FLAIR MRI.
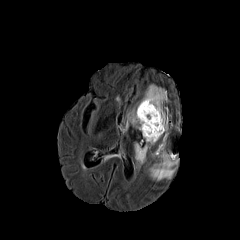
T1-weighted MR.
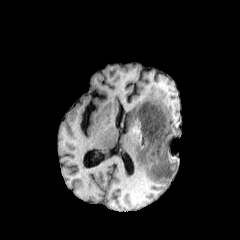
Post-contrast T1-weighted MR.
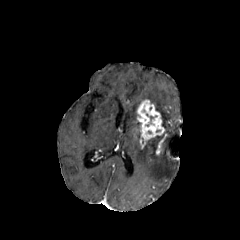
T2-weighted MRI.
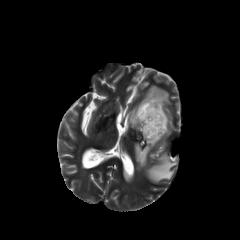
Head. Axial plane. 240x240 px.
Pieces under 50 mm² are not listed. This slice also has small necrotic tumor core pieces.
The largest enhancing tumor region lies within <bbox>137, 99, 165, 143</bbox>. The 4 largest peritumoral edema regions are located at <bbox>147, 138, 177, 181</bbox>, <bbox>135, 136, 161, 166</bbox>, <bbox>127, 109, 140, 129</bbox>, <bbox>142, 84, 168, 133</bbox>.